Axial plane; Brain; Image covers 240 mm x 240 mm
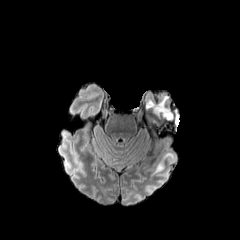
FLAIR MR image.
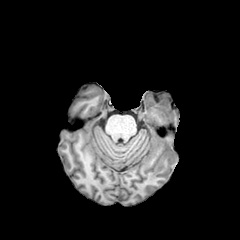
T1-weighted MRI.
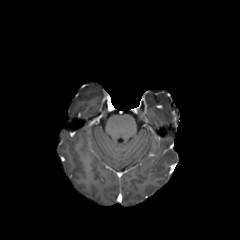
Post-contrast T1-weighted magnetic resonance.
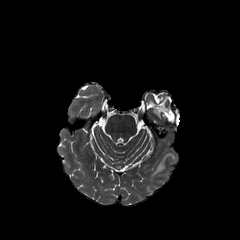
T2-weighted magnetic resonance of the same slice.
<segmentation>
  <peritumoral_edema>box=[144, 96, 173, 120]; box=[152, 153, 174, 175]</peritumoral_edema>
</segmentation>